240x240; Brain; Axial view
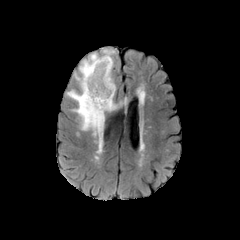
FLAIR MR image.
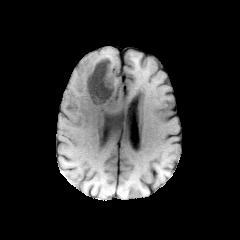
Same slice, T1-weighted MRI.
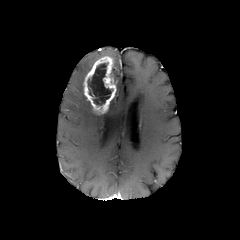
Same slice, post-contrast T1-weighted MRI.
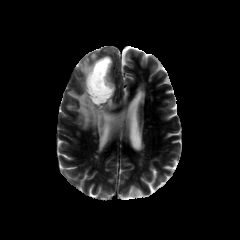
T2-weighted magnetic resonance of the same slice.
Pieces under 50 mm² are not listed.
Annotated regions:
- enhancing tumor: bbox(83, 56, 116, 114)
- peritumoral edema: bbox(66, 48, 127, 153)
- necrotic tumor core: bbox(88, 63, 111, 105)